Slice 121/155; Axial view
FLAIR magnetic resonance.
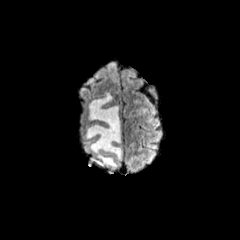
T1-weighted magnetic resonance.
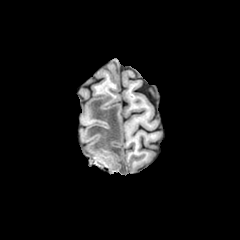
Post-contrast T1-weighted MRI.
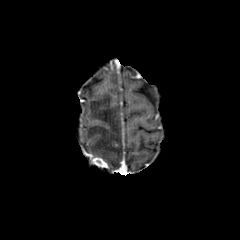
T2-weighted MRI.
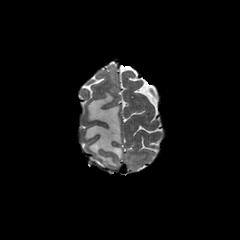
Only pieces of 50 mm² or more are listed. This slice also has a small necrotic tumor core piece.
enhancing tumor: bounding box (x1=91, y1=156, x2=108, y2=167)
peritumoral edema: bounding box (x1=84, y1=92, x2=122, y2=168)